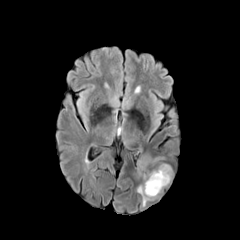
FLAIR MR image.
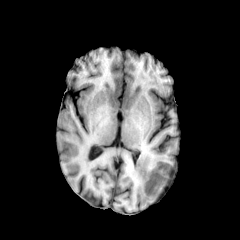
Same slice, T1-weighted magnetic resonance.
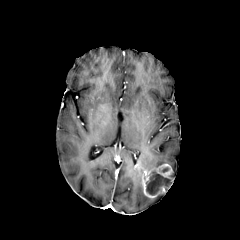
Post-contrast T1-weighted MRI.
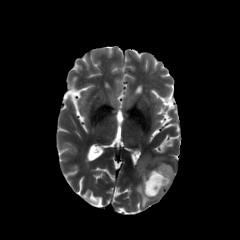
T2-weighted MR image.
Head.
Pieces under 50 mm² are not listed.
The 2 largest peritumoral edema regions appear at (137,185,153,206), (137,155,164,176). The largest enhancing tumor region lies within (141,163,173,198). The largest necrotic tumor core region appears at (146,171,170,194).